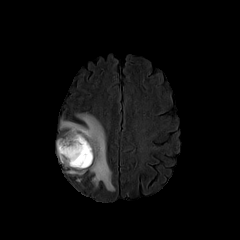
FLAIR MRI.
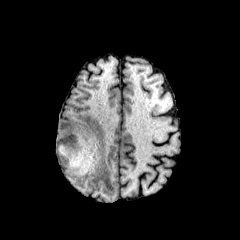
Same slice, T1-weighted MR.
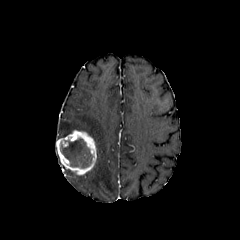
Same slice, post-contrast T1-weighted MR.
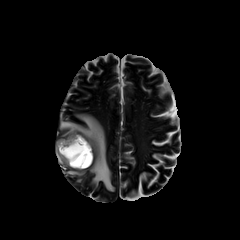
T2-weighted magnetic resonance.
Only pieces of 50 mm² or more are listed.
enhancing tumor: (56,130,96,175) | peritumoral edema: (60,113,115,191) | necrotic tumor core: (61,138,92,167)